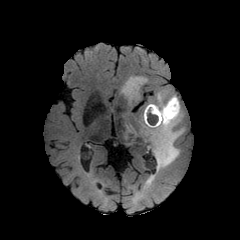
FLAIR MR.
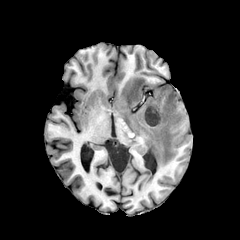
T1-weighted magnetic resonance.
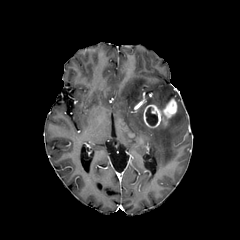
Post-contrast T1-weighted magnetic resonance.
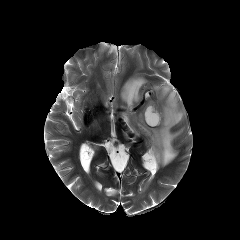
T2-weighted MRI.
Brain
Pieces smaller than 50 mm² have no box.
<segmentation>
  <peritumoral_edema>140 86 184 171, 121 76 147 104</peritumoral_edema>
  <enhancing_tumor>143 98 177 127</enhancing_tumor>
  <necrotic_tumor_core>146 107 157 125</necrotic_tumor_core>
</segmentation>